240x240; Slice 66 of 155; Head; Axial plane
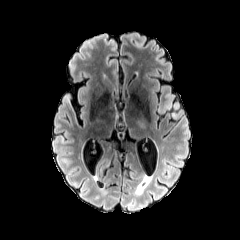
FLAIR MR.
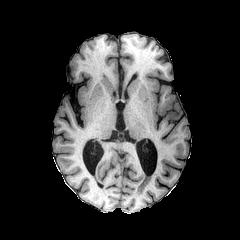
T1-weighted MRI of the same slice.
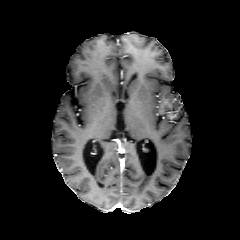
Post-contrast T1-weighted MR.
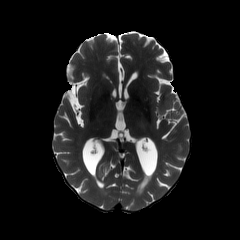
Same slice, T2-weighted MR.
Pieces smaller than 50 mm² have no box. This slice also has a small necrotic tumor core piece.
* enhancing tumor: <bbox>159, 99, 171, 113</bbox>, <bbox>167, 111, 176, 118</bbox>
* peritumoral edema: <bbox>166, 94, 179, 109</bbox>